Axial slice.
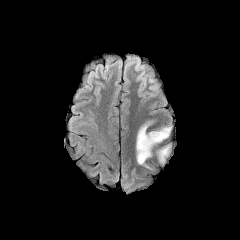
FLAIR MR image.
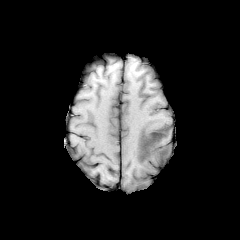
T1-weighted magnetic resonance.
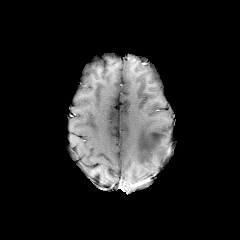
Post-contrast T1-weighted MRI.
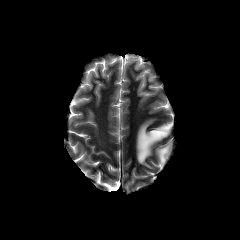
T2-weighted MRI.
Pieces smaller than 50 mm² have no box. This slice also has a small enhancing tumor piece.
peritumoral_edema:
  - x1=136 y1=121 x2=172 y2=168